Image covers 240 mm x 240 mm | Slice index 61
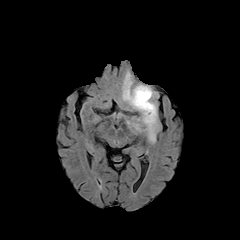
FLAIR MR image.
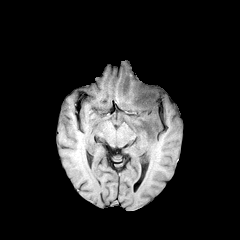
T1-weighted magnetic resonance of the same slice.
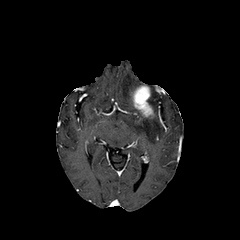
Post-contrast T1-weighted magnetic resonance of the same slice.
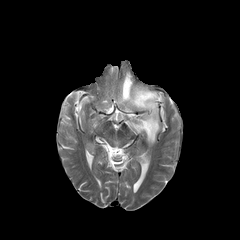
Same slice, T2-weighted MR.
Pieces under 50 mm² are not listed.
<segmentation>
  <peritumoral_edema><box>128,90,159,143</box>, <box>122,71,137,108</box></peritumoral_edema>
  <enhancing_tumor><box>131,85,154,118</box></enhancing_tumor>
</segmentation>